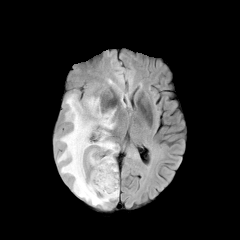
FLAIR magnetic resonance.
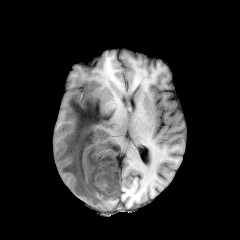
T1-weighted MR image.
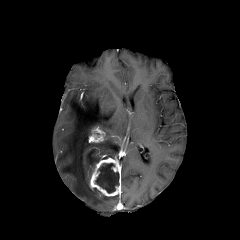
Post-contrast T1-weighted MR image of the same slice.
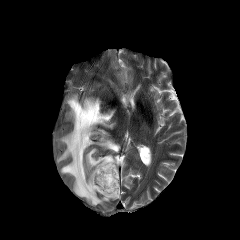
T2-weighted MR image.
Axial slice.
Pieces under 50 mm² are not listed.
<segmentation>
  <necrotic_tumor_core>(96,163,118,193)</necrotic_tumor_core>
  <peritumoral_edema>(57,93,119,208)</peritumoral_edema>
  <enhancing_tumor>(89,157,120,196), (88,127,105,142)</enhancing_tumor>
</segmentation>